FLAIR magnetic resonance.
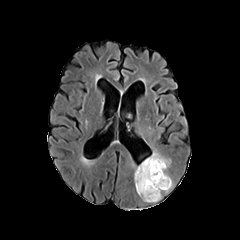
T1-weighted MR image.
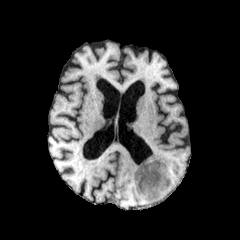
Post-contrast T1-weighted MR.
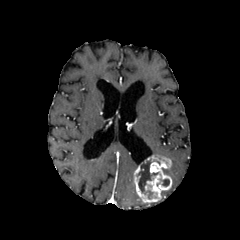
T2-weighted magnetic resonance.
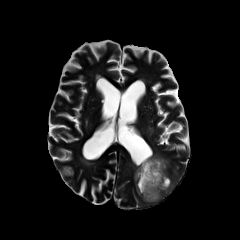
Brain
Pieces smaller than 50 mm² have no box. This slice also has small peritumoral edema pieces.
The largest enhancing tumor region is bounded by (134,155,171,202). The 2 largest necrotic tumor core regions are located at (160,178,169,186), (137,161,152,198).